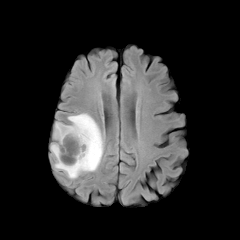
FLAIR MR image.
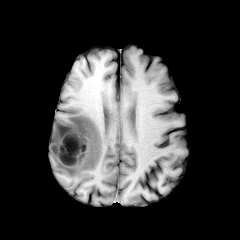
T1-weighted MR.
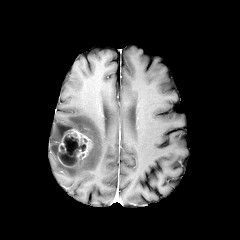
Same slice, post-contrast T1-weighted MR image.
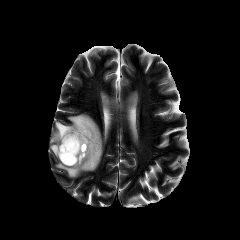
T2-weighted magnetic resonance.
Brain
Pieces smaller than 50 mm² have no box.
necrotic tumor core: rect(60, 136, 85, 165) | enhancing tumor: rect(57, 128, 92, 167) | peritumoral edema: rect(50, 113, 104, 178)